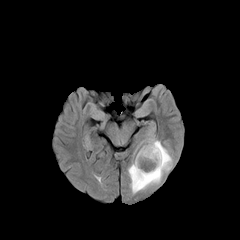
FLAIR MR.
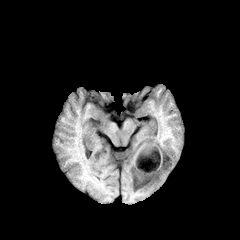
Same slice, T1-weighted magnetic resonance.
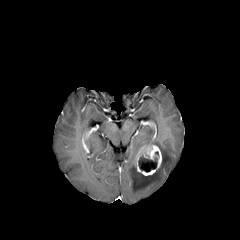
Post-contrast T1-weighted MR.
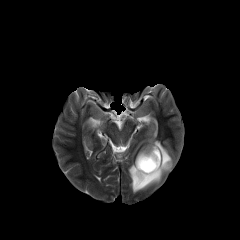
Same slice, T2-weighted MR.
Brain, Axial view
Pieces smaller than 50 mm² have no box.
<segmentation>
  <peritumoral_edema>(x1=128, y1=131, x2=173, y2=193)</peritumoral_edema>
  <enhancing_tumor>(x1=135, y1=145, x2=162, y2=175)</enhancing_tumor>
  <necrotic_tumor_core>(x1=138, y1=155, x2=157, y2=172)</necrotic_tumor_core>
</segmentation>